Axial plane. Brain.
FLAIR MR image.
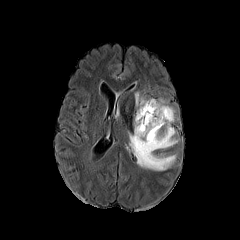
T1-weighted magnetic resonance.
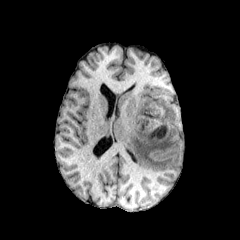
Post-contrast T1-weighted magnetic resonance.
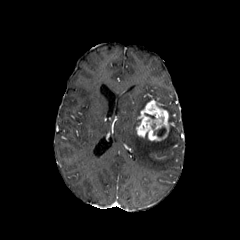
T2-weighted MR.
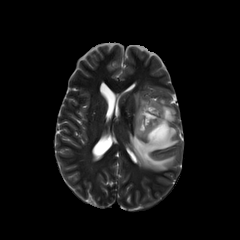
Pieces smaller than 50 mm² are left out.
The largest necrotic tumor core region lies within (154,127,165,136). The enhancing tumor is located at (136,99,170,142). The peritumoral edema is bounded by (129,92,178,170).